Brain, Image covers 240 mm x 240 mm, Axial plane, Slice 82 of 155
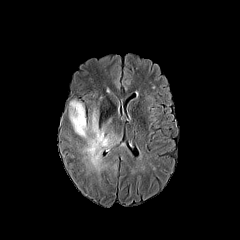
FLAIR MR image.
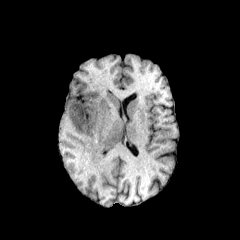
T1-weighted MR.
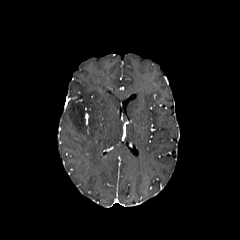
Post-contrast T1-weighted MR.
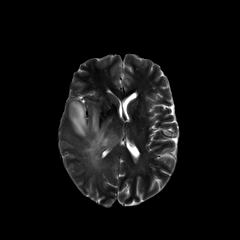
T2-weighted MR image.
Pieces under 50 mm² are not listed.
The largest peritumoral edema region is bounded by {"x1": 69, "y1": 100, "x2": 120, "y2": 173}.